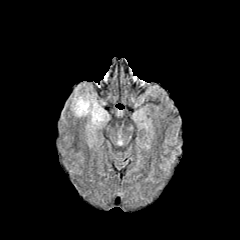
FLAIR MR.
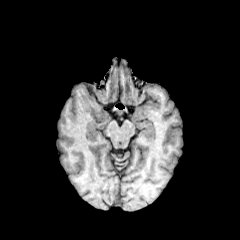
T1-weighted MR image.
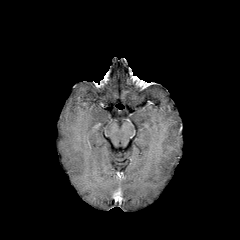
Post-contrast T1-weighted MR image of the same slice.
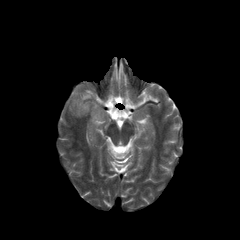
T2-weighted MR of the same slice.
peritumoral edema at l=72, t=94, r=108, b=128